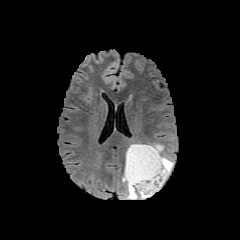
FLAIR MR image.
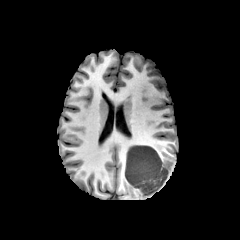
T1-weighted magnetic resonance of the same slice.
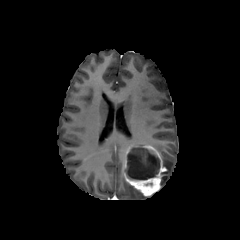
Post-contrast T1-weighted MRI of the same slice.
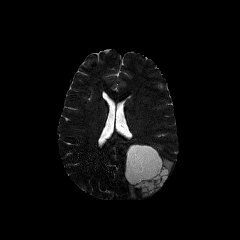
T2-weighted MR.
Head
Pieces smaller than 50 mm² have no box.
peritumoral edema: bbox(127, 182, 137, 199); bbox(150, 144, 163, 152); bbox(161, 157, 173, 186) | necrotic tumor core: bbox(127, 147, 159, 179) | enhancing tumor: bbox(124, 145, 166, 196)